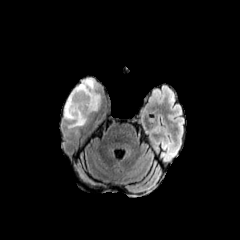
FLAIR MR.
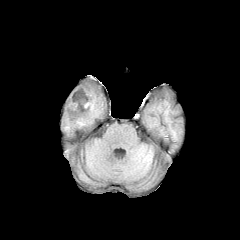
T1-weighted magnetic resonance.
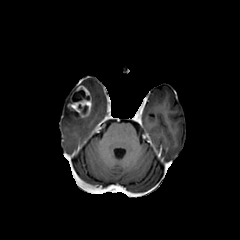
Post-contrast T1-weighted MRI of the same slice.
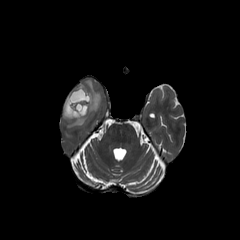
T2-weighted MR image.
Brain
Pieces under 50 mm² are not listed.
The enhancing tumor is located at left=67, top=85, right=92, bottom=118. 2 peritumoral edema regions are bounded by left=79, top=78, right=101, bottom=112; left=63, top=87, right=87, bottom=127. The 2 largest necrotic tumor core regions are located at left=72, top=89, right=89, bottom=101; left=78, top=105, right=87, bottom=113.